FLAIR MRI.
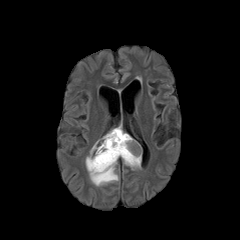
T1-weighted MR.
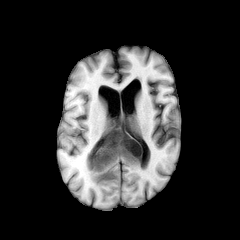
Post-contrast T1-weighted MRI.
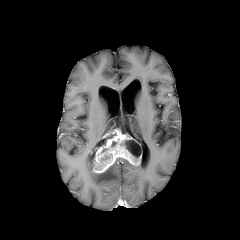
T2-weighted MR image.
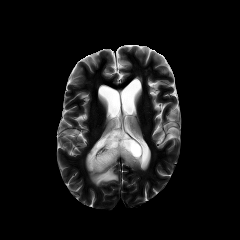
Image size 240x240
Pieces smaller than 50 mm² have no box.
necrotic tumor core = [x1=96, y1=134, x2=115, y2=146], [x1=124, y1=140, x2=140, y2=158]
peritumoral edema = [x1=85, y1=157, x2=118, y2=186], [x1=123, y1=159, x2=140, y2=169]
enhancing tumor = [x1=86, y1=129, x2=141, y2=173]